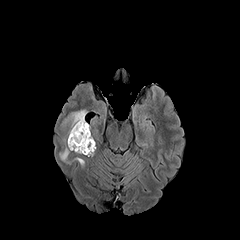
FLAIR MR image.
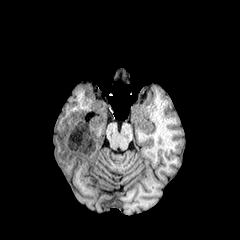
T1-weighted MR image.
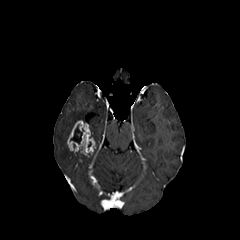
Same slice, post-contrast T1-weighted magnetic resonance.
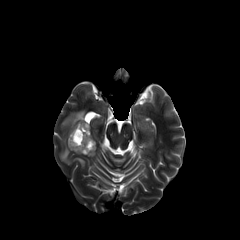
T2-weighted MR image.
Head
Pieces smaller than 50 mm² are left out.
peritumoral_edema:
  - 60, 145, 72, 163
  - 62, 110, 86, 137
necrotic_tumor_core:
  - 70, 125, 82, 143
enhancing_tumor:
  - 67, 120, 95, 156